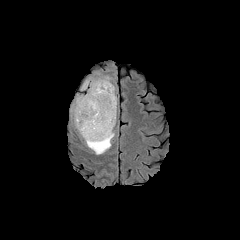
FLAIR MRI.
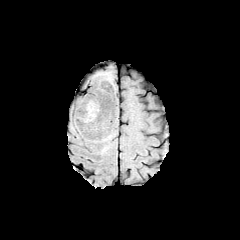
T1-weighted MRI.
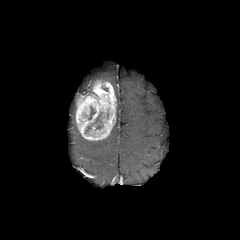
Post-contrast T1-weighted MR of the same slice.
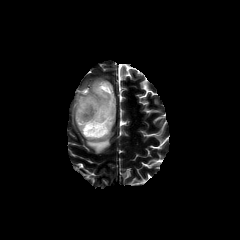
T2-weighted MR image of the same slice.
240x240 px
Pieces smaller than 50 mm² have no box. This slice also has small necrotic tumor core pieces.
peritumoral edema = <bbox>85, 99, 117, 154</bbox>, <bbox>71, 101, 77, 129</bbox>, <bbox>88, 76, 109, 92</bbox>
enhancing tumor = <bbox>75, 80, 116, 140</bbox>